Axial slice, 240x240, Slice index 113
FLAIR MR.
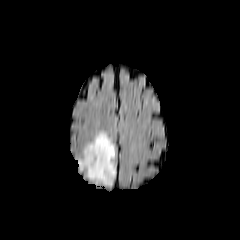
T1-weighted MR.
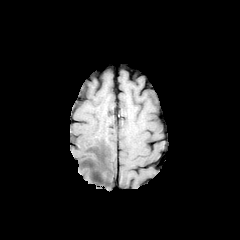
Post-contrast T1-weighted MRI.
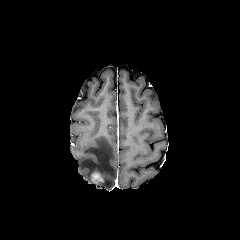
T2-weighted MR.
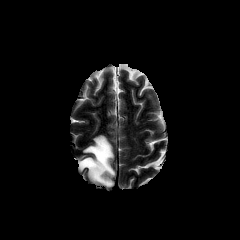
peritumoral edema: {"x1": 78, "y1": 133, "x2": 115, "y2": 186}
enhancing tumor: {"x1": 91, "y1": 170, "x2": 103, "y2": 183}